FLAIR MR image.
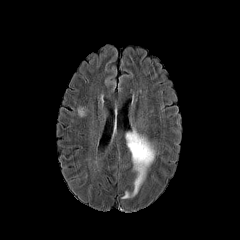
T1-weighted MR.
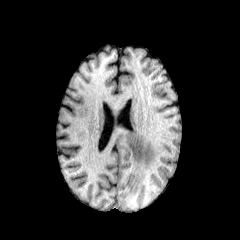
Post-contrast T1-weighted MR image.
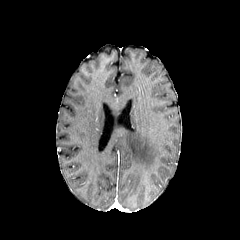
T2-weighted MRI.
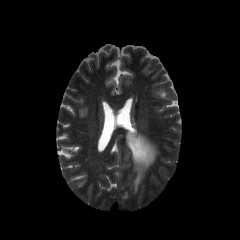
240x240 px. Axial slice.
peritumoral edema: (x1=121, y1=129, x2=156, y2=199)